Axial view | Slice 44 of 155
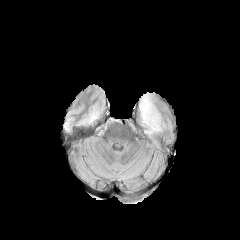
FLAIR MR.
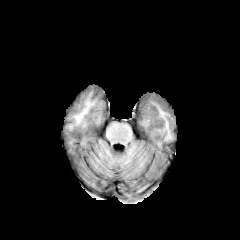
Same slice, T1-weighted MR.
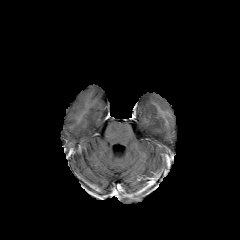
Post-contrast T1-weighted MR of the same slice.
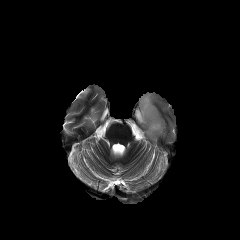
Same slice, T2-weighted MR image.
The peritumoral edema is at region(139, 94, 164, 138).